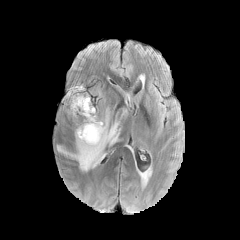
FLAIR MR image.
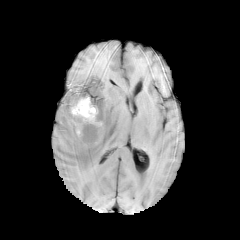
T1-weighted magnetic resonance.
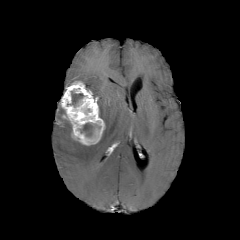
Post-contrast T1-weighted MRI of the same slice.
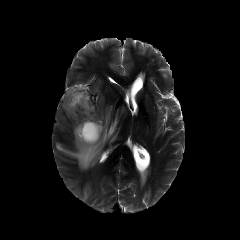
T2-weighted MR.
Axial plane
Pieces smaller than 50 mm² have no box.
peritumoral edema — (left=56, top=108, right=119, bottom=171)
necrotic tumor core — (left=67, top=92, right=83, bottom=105), (left=80, top=123, right=93, bottom=137)
enhancing tumor — (left=61, top=81, right=105, bottom=145)